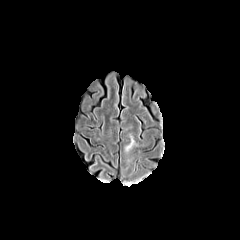
FLAIR MR.
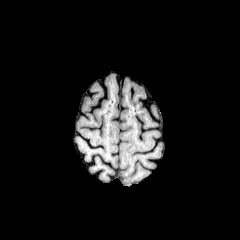
T1-weighted MR image of the same slice.
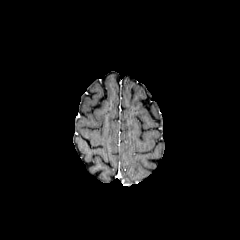
Post-contrast T1-weighted MR image.
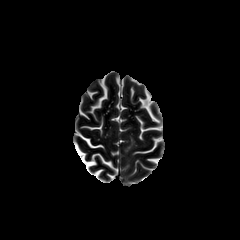
T2-weighted MR image.
Head; Axial slice
peritumoral edema at bbox(125, 136, 134, 150)